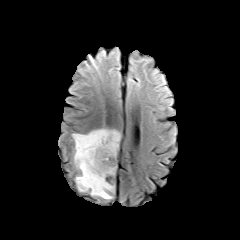
FLAIR MR.
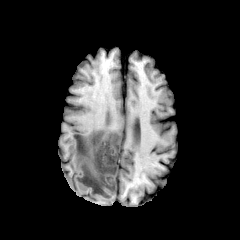
T1-weighted MRI.
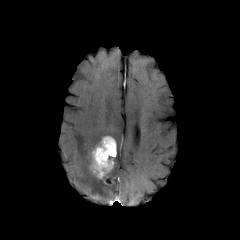
Post-contrast T1-weighted magnetic resonance.
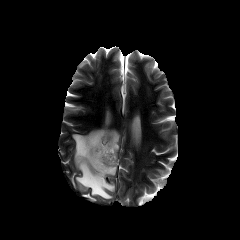
T2-weighted MR.
Axial slice
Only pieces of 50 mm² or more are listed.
enhancing_tumor:
  - [90,136,116,179]
peritumoral_edema:
  - [72,128,120,199]